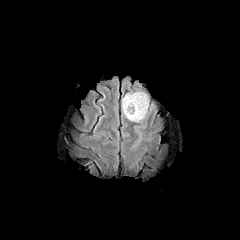
FLAIR MR.
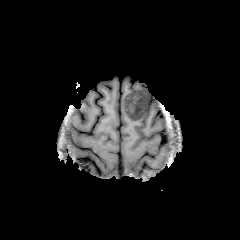
Same slice, T1-weighted MRI.
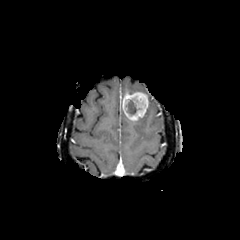
Post-contrast T1-weighted MR.
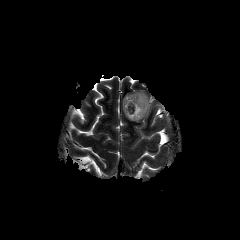
Same slice, T2-weighted MR image.
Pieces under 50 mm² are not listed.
enhancing_tumor:
  - [122,92,148,120]
necrotic_tumor_core:
  - [126,100,136,114]
peritumoral_edema:
  - [132,109,149,122]